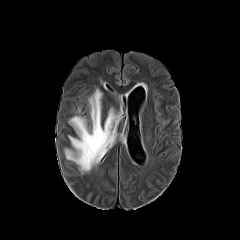
FLAIR MRI.
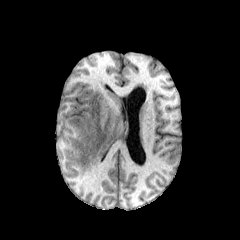
Same slice, T1-weighted magnetic resonance.
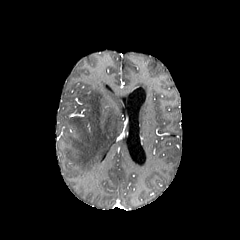
Post-contrast T1-weighted MRI.
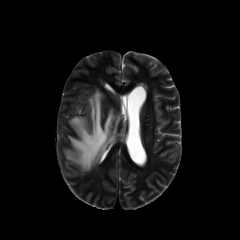
T2-weighted magnetic resonance of the same slice.
Brain
peritumoral edema — box(64, 89, 122, 173)